FLAIR MRI.
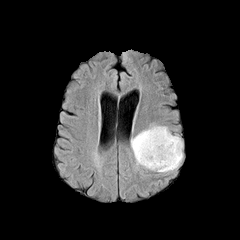
T1-weighted magnetic resonance.
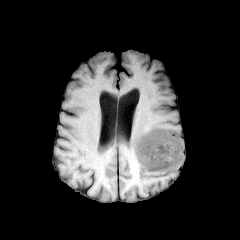
Post-contrast T1-weighted MR image.
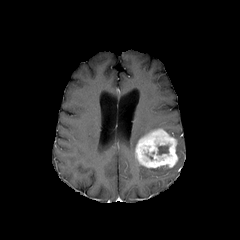
T2-weighted MR.
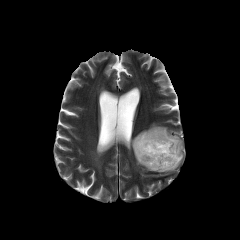
Axial view.
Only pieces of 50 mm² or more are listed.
necrotic tumor core: 158, 145, 168, 154 | peritumoral edema: 131, 125, 182, 172 | enhancing tumor: 135, 128, 178, 168